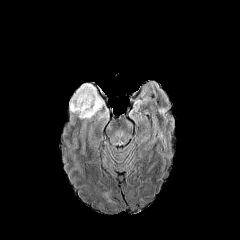
FLAIR magnetic resonance.
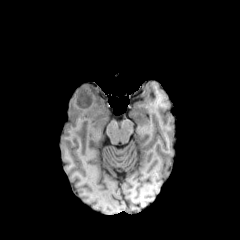
T1-weighted MRI.
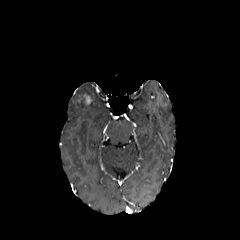
Post-contrast T1-weighted magnetic resonance.
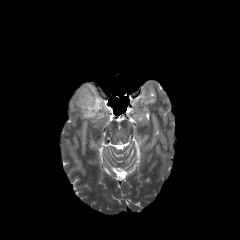
Same slice, T2-weighted MRI.
Brain | Axial plane
The enhancing tumor lies within [x1=77, y1=94, x2=92, y2=104]. The peritumoral edema is at [x1=68, y1=83, x2=109, y2=124].